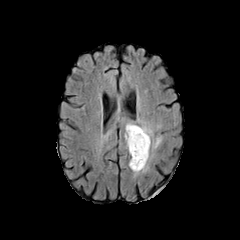
FLAIR MRI.
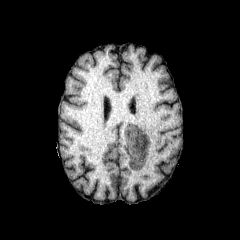
Same slice, T1-weighted MR.
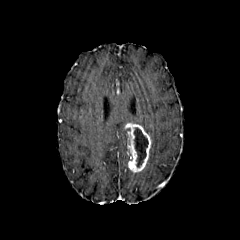
Post-contrast T1-weighted MR image of the same slice.
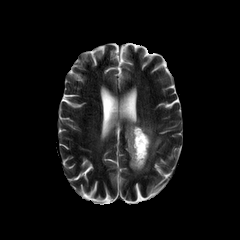
Same slice, T2-weighted MR.
Axial view. Head.
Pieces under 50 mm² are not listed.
• enhancing tumor: x1=125, y1=123, x2=151, y2=172
• necrotic tumor core: x1=134, y1=128, x2=148, y2=167
• peritumoral edema: x1=128, y1=119, x2=161, y2=174